Head. Slice 84/155.
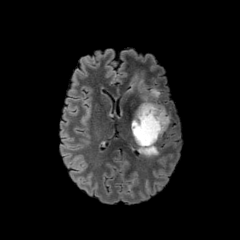
FLAIR MR.
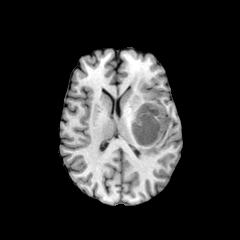
Same slice, T1-weighted magnetic resonance.
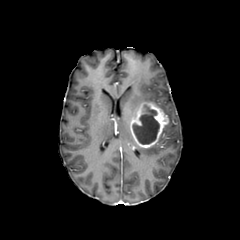
Post-contrast T1-weighted MRI.
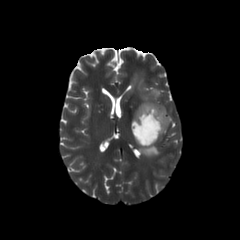
T2-weighted MRI of the same slice.
necrotic tumor core: (left=133, top=106, right=159, bottom=144) | peritumoral edema: (left=125, top=71, right=170, bottom=137), (left=139, top=144, right=159, bottom=156) | enhancing tumor: (left=130, top=103, right=168, bottom=148)